FLAIR magnetic resonance.
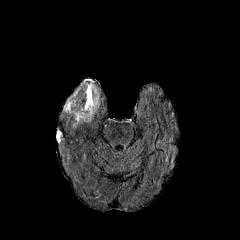
T1-weighted MRI.
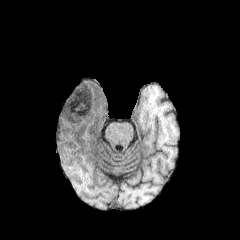
Post-contrast T1-weighted MRI.
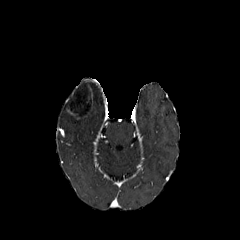
T2-weighted MR.
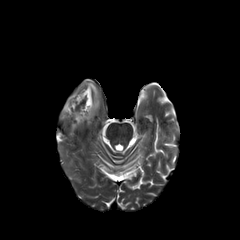
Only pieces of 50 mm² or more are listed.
{"necrotic_tumor_core": [{"x1": 64, "y1": 82, "x2": 91, "y2": 117}], "enhancing_tumor": [{"x1": 66, "y1": 108, "x2": 79, "y2": 119}], "peritumoral_edema": [{"x1": 72, "y1": 81, "x2": 99, "y2": 128}]}